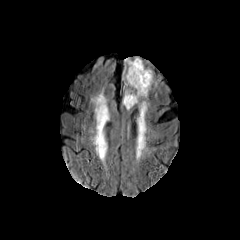
FLAIR magnetic resonance.
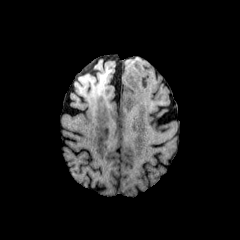
T1-weighted magnetic resonance.
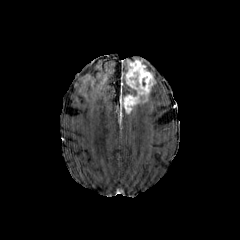
Post-contrast T1-weighted MR image of the same slice.
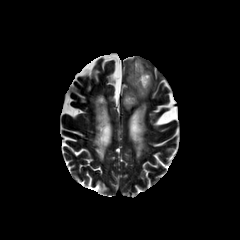
T2-weighted magnetic resonance.
240x240.
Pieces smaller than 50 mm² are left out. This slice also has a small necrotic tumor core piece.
peritumoral edema at (121, 59, 133, 79), (124, 80, 136, 96)
enhancing tumor at (122, 59, 154, 112)